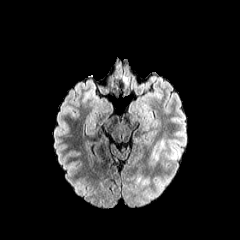
FLAIR magnetic resonance.
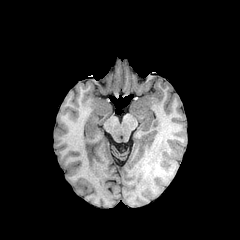
T1-weighted MR.
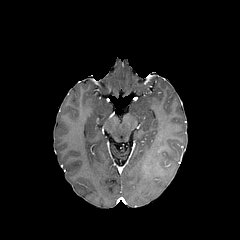
Post-contrast T1-weighted MR.
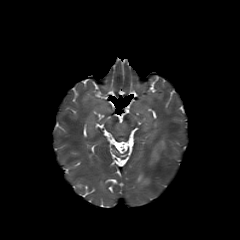
T2-weighted MR image.
Axial slice | Brain | 240x240 px
Findings:
- peritumoral edema: bbox(151, 139, 164, 159); bbox(136, 171, 149, 186)